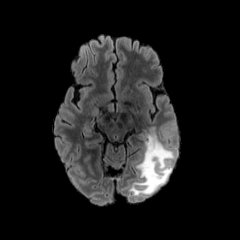
FLAIR magnetic resonance.
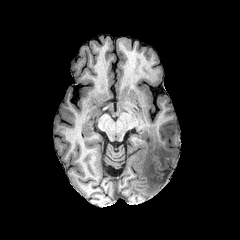
T1-weighted MR of the same slice.
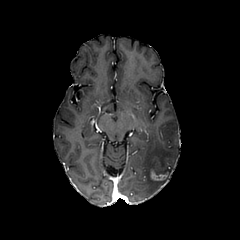
Post-contrast T1-weighted magnetic resonance.
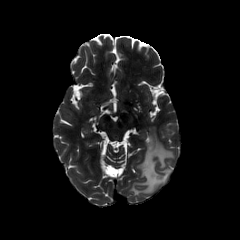
T2-weighted MR image.
Findings:
• peritumoral edema: (left=130, top=127, right=175, bottom=195)
• enhancing tumor: (left=150, top=169, right=167, bottom=180)